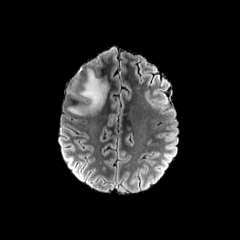
FLAIR MR.
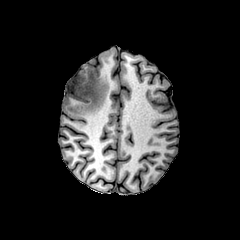
Same slice, T1-weighted MRI.
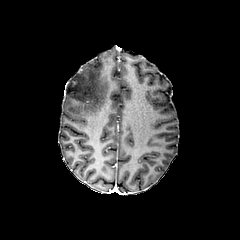
Post-contrast T1-weighted MRI.
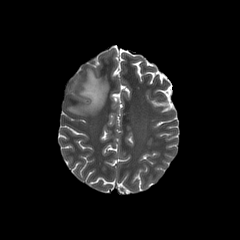
T2-weighted MR image.
Image size 240x240. Axial view. Brain.
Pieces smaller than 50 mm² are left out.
Segmented structures:
• peritumoral edema: 68 69 108 114